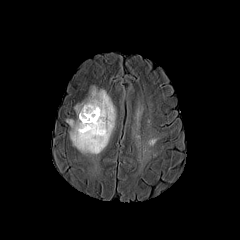
FLAIR magnetic resonance.
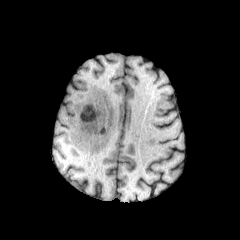
T1-weighted MRI of the same slice.
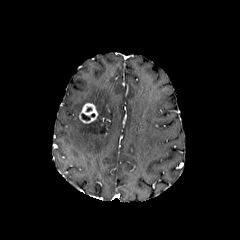
Post-contrast T1-weighted magnetic resonance of the same slice.
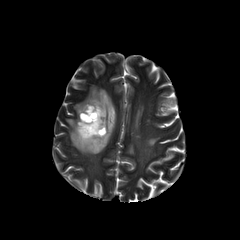
T2-weighted MR image.
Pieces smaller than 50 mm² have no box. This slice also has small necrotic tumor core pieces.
{
  "enhancing_tumor": [
    "bbox(79, 103, 98, 123)"
  ],
  "peritumoral_edema": [
    "bbox(66, 86, 115, 154)"
  ]
}